Axial slice | Head
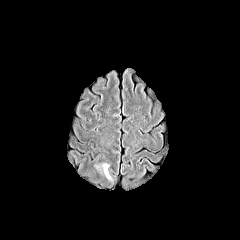
FLAIR MR image.
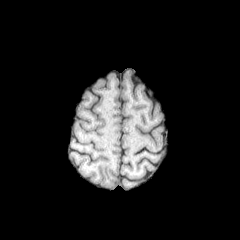
T1-weighted MRI.
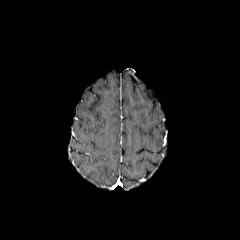
Post-contrast T1-weighted MRI of the same slice.
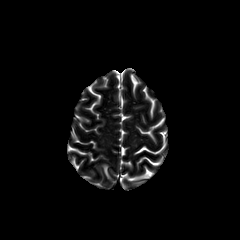
T2-weighted MR.
Annotated regions:
* peritumoral edema: [x1=96, y1=164, x2=111, y2=179]